Brain
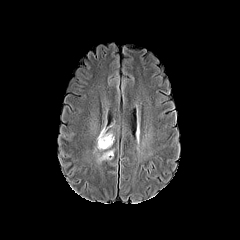
FLAIR magnetic resonance.
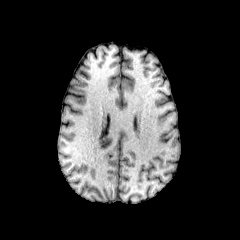
Same slice, T1-weighted magnetic resonance.
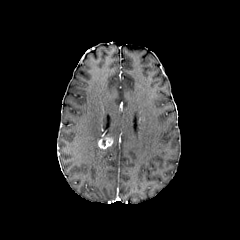
Post-contrast T1-weighted magnetic resonance.
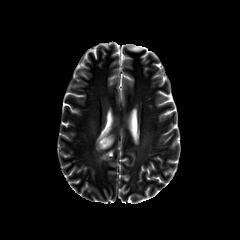
T2-weighted MR.
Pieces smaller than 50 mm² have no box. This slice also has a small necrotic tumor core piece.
The enhancing tumor is located at 98, 136, 113, 148. The 2 largest peritumoral edema regions appear at 95, 131, 104, 150; 99, 150, 113, 160.